FLAIR magnetic resonance.
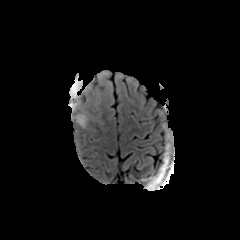
T1-weighted MRI.
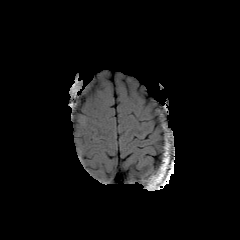
Post-contrast T1-weighted magnetic resonance.
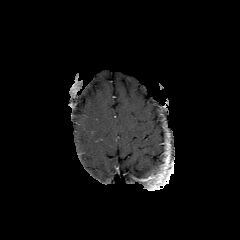
T2-weighted MRI.
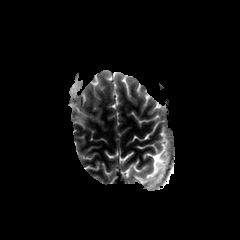
240x240.
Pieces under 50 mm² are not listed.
peritumoral edema: bounding box 75:111:89:128